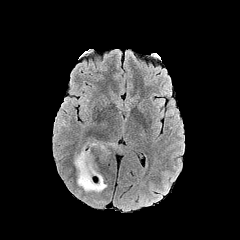
FLAIR MRI.
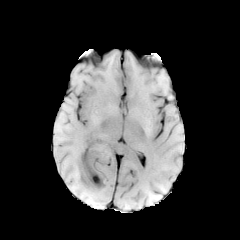
T1-weighted MRI of the same slice.
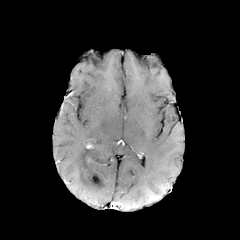
Same slice, post-contrast T1-weighted MRI.
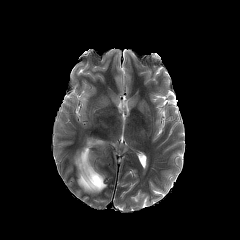
T2-weighted MRI of the same slice.
Axial view
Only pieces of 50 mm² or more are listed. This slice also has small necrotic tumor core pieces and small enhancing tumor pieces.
peritumoral_edema:
  - bbox=[73, 142, 107, 193]
  - bbox=[92, 139, 110, 151]